Head. Axial plane.
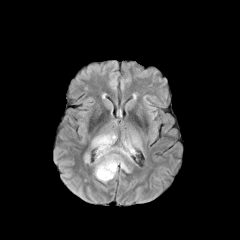
FLAIR MR image.
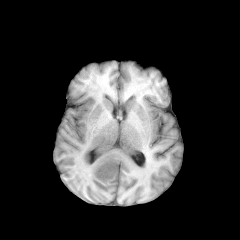
T1-weighted MR of the same slice.
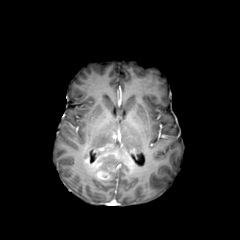
Post-contrast T1-weighted MR image of the same slice.
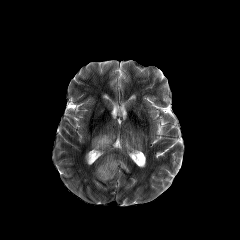
T2-weighted MR image of the same slice.
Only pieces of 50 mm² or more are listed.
• enhancing tumor: [93, 145, 118, 180]
• peritumoral edema: [97, 154, 129, 172], [92, 133, 133, 157]